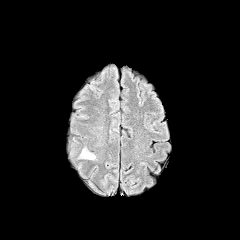
FLAIR MRI.
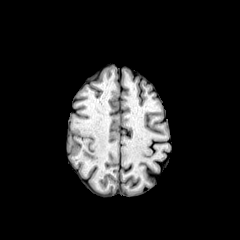
T1-weighted MRI.
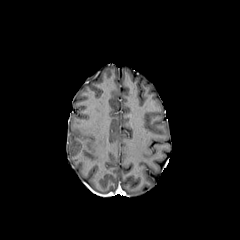
Same slice, post-contrast T1-weighted magnetic resonance.
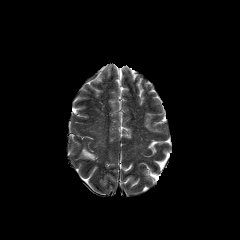
Same slice, T2-weighted MR image.
Axial view.
peritumoral_edema:
  - (left=82, top=149, right=95, bottom=159)